FLAIR magnetic resonance.
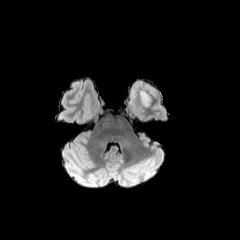
T1-weighted MR.
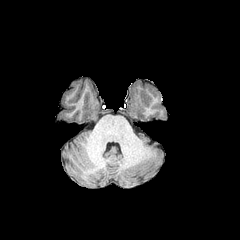
Post-contrast T1-weighted MR image.
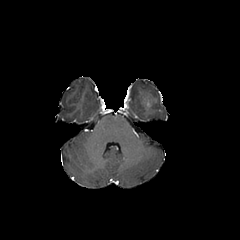
T2-weighted MR.
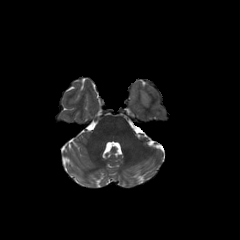
Brain.
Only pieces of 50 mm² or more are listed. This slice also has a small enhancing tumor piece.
<segmentation>
  <peritumoral_edema><box>130,80,154,106</box></peritumoral_edema>
</segmentation>